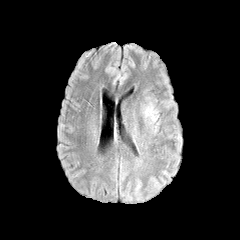
FLAIR MR.
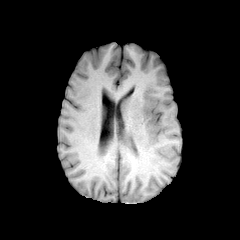
Same slice, T1-weighted MR image.
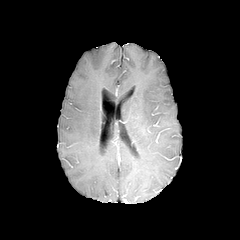
Post-contrast T1-weighted MR.
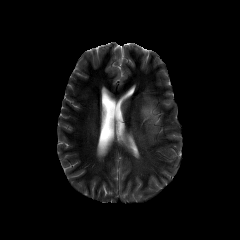
T2-weighted MRI of the same slice.
Axial plane
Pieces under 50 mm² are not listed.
Findings:
• peritumoral edema: x1=142, y1=102, x2=158, y2=124